FLAIR MR.
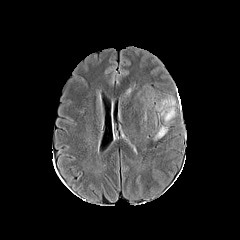
T1-weighted MRI.
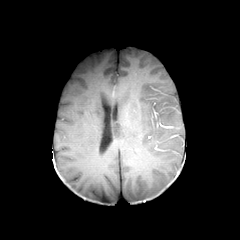
Post-contrast T1-weighted MRI.
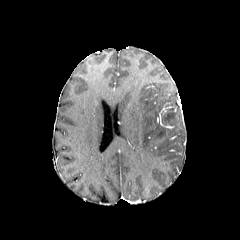
T2-weighted MRI.
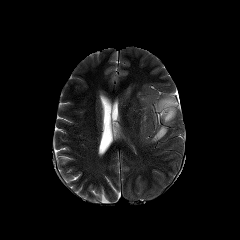
Head
<segmentation>
  <peritumoral_edema>154:126:167:140, 158:98:175:122</peritumoral_edema>
</segmentation>